FLAIR MRI.
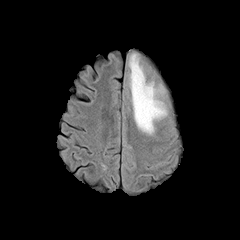
T1-weighted MRI.
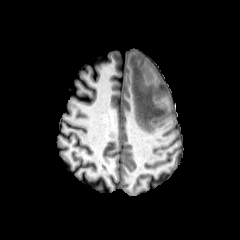
Post-contrast T1-weighted MR.
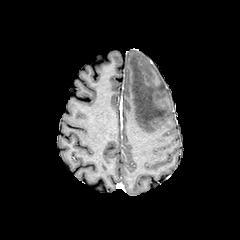
T2-weighted MR image.
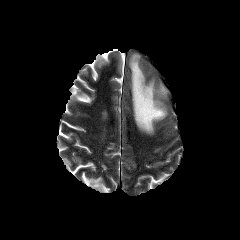
240x240. Axial slice.
peritumoral edema: left=128, top=53, right=167, bottom=134